Image covers 240 mm x 240 mm, Axial view, Head
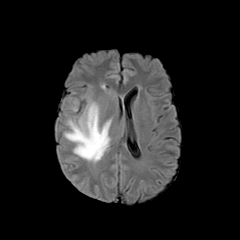
FLAIR MR image.
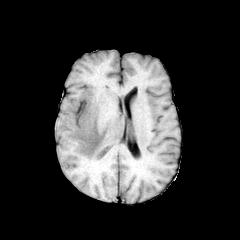
Same slice, T1-weighted magnetic resonance.
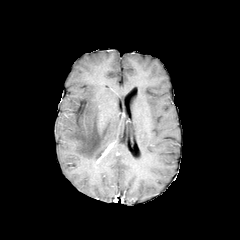
Same slice, post-contrast T1-weighted MRI.
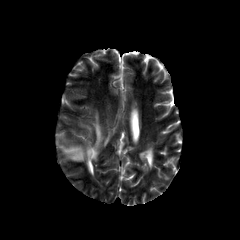
T2-weighted MRI of the same slice.
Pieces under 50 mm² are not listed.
peritumoral_edema:
  - box(63, 102, 111, 162)